FLAIR MR image.
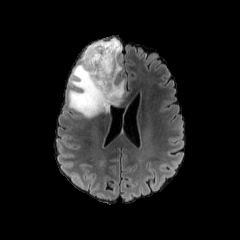
T1-weighted MRI.
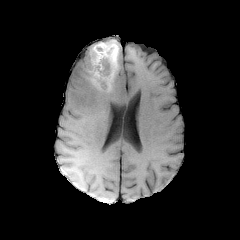
Post-contrast T1-weighted MRI.
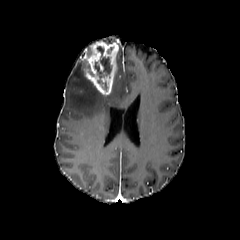
T2-weighted MRI.
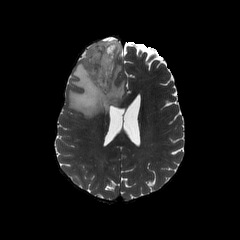
Axial plane, Brain
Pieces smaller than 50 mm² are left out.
peritumoral edema: <bbox>68, 42, 126, 118</bbox> | necrotic tumor core: <bbox>95, 46, 111, 73</bbox>, <bbox>94, 62, 101, 77</bbox>, <bbox>97, 79, 106, 90</bbox> | enhancing tumor: <bbox>81, 41, 118, 95</bbox>